Brain
FLAIR MRI.
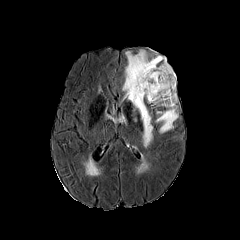
T1-weighted MR image.
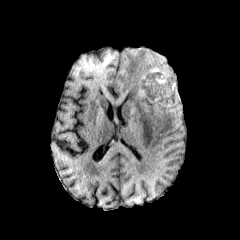
Post-contrast T1-weighted MR image.
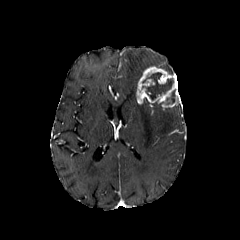
T2-weighted MRI.
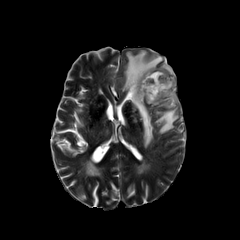
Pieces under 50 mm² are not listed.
The largest enhancing tumor region is at bbox=[136, 66, 178, 108]. The 2 largest peritumoral edema regions appear at bbox=[155, 106, 178, 133]; bbox=[122, 50, 173, 147]. The 2 largest necrotic tumor core regions are located at bbox=[167, 90, 175, 102]; bbox=[146, 72, 173, 98].